Head; Axial slice; Slice index 95; Image width 240 mm
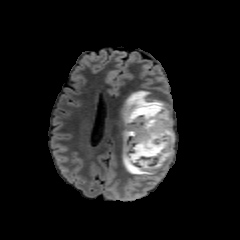
FLAIR MR.
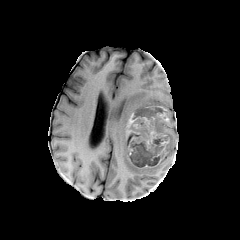
T1-weighted MR.
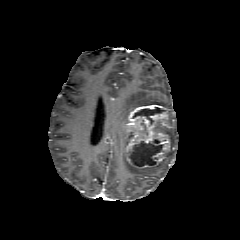
Post-contrast T1-weighted MR image.
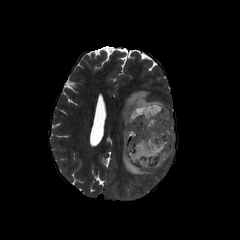
T2-weighted magnetic resonance of the same slice.
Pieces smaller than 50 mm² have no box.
necrotic tumor core = region(132, 107, 165, 121); region(129, 141, 164, 166)
enhancing tumor = region(125, 104, 173, 169)
peritumoral edema = region(122, 129, 164, 179); region(122, 90, 166, 126)